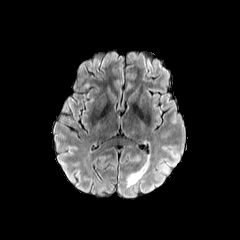
FLAIR MR.
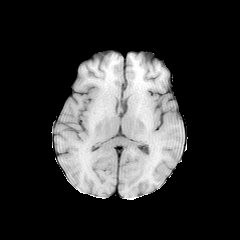
T1-weighted MRI of the same slice.
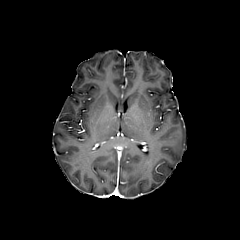
Post-contrast T1-weighted MRI.
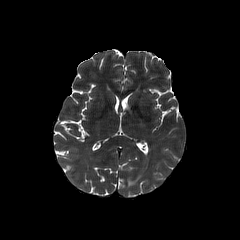
T2-weighted MR image of the same slice.
240x240
<segmentation>
  <peritumoral_edema>127:156:149:187</peritumoral_edema>
</segmentation>